Slice index 100
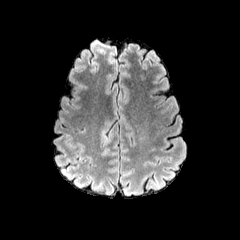
FLAIR MRI.
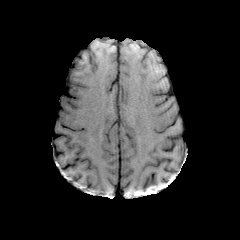
T1-weighted MR.
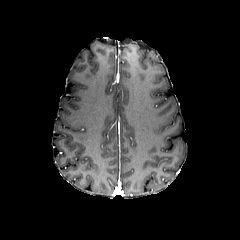
Post-contrast T1-weighted MRI.
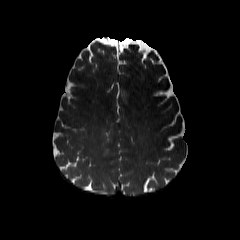
T2-weighted MR image.
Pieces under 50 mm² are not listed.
The largest peritumoral edema region lies within <bbox>101, 130, 108, 146</bbox>.